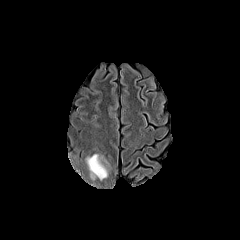
FLAIR MR image.
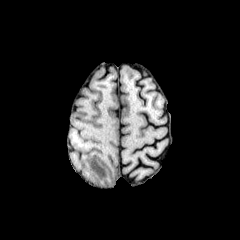
T1-weighted MR image of the same slice.
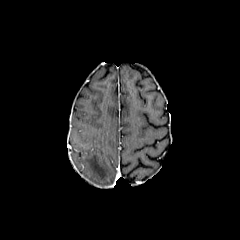
Post-contrast T1-weighted magnetic resonance of the same slice.
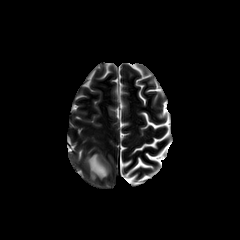
T2-weighted MRI of the same slice.
Axial slice. Brain.
peritumoral edema = x1=86 y1=154 x2=109 y2=179